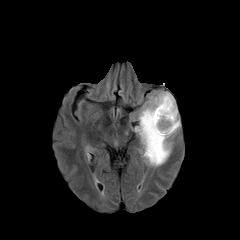
FLAIR MR.
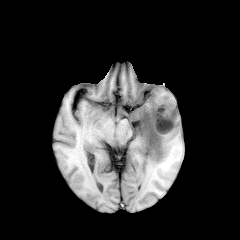
T1-weighted MRI of the same slice.
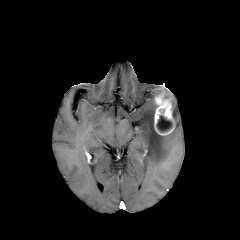
Same slice, post-contrast T1-weighted MR.
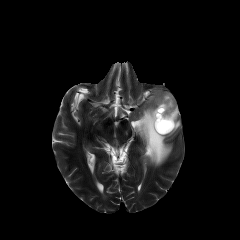
T2-weighted MR.
Brain | Axial plane
necrotic tumor core: 157:115:172:132 | enhancing tumor: 154:93:175:135 | peritumoral edema: 134:91:180:166